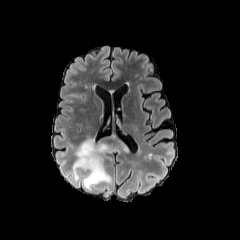
FLAIR MR image.
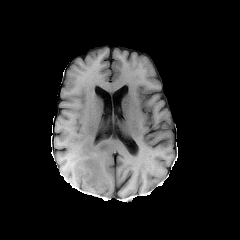
T1-weighted MR.
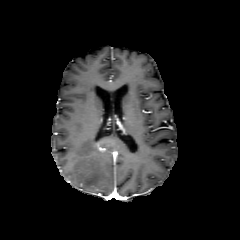
Post-contrast T1-weighted MR.
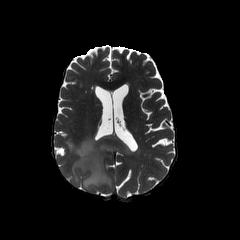
T2-weighted MRI.
Axial slice. 240x240 px. Brain.
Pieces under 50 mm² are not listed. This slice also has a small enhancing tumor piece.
<segmentation>
  <peritumoral_edema>bbox=[72, 134, 130, 189]</peritumoral_edema>
</segmentation>